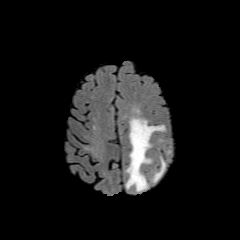
FLAIR magnetic resonance.
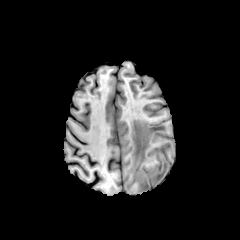
T1-weighted MRI of the same slice.
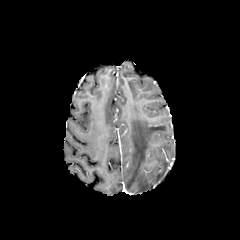
Post-contrast T1-weighted MR image of the same slice.
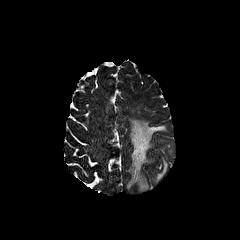
T2-weighted MR image of the same slice.
Axial view
peritumoral edema: bounding box <bbox>153, 159, 165, 182</bbox>, <bbox>126, 117, 165, 190</bbox>